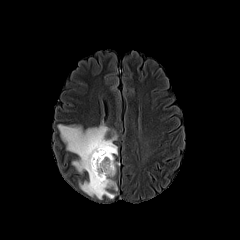
FLAIR MR image.
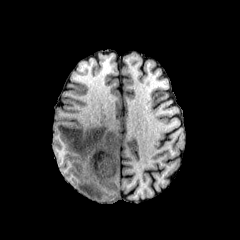
Same slice, T1-weighted MR image.
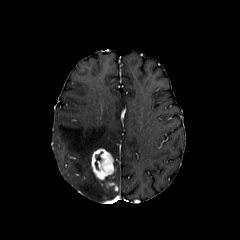
Same slice, post-contrast T1-weighted MRI.
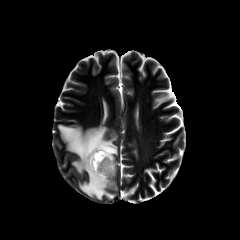
T2-weighted MRI of the same slice.
Axial plane
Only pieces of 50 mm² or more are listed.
necrotic tumor core — <box>95,152,102,169</box>
peritumoral edema — <box>57,122,117,199</box>
enhancing tumor — <box>91,148,115,180</box>, <box>105,181,117,190</box>